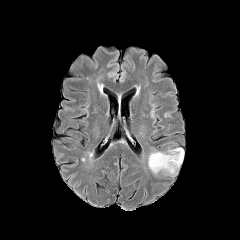
FLAIR MR image.
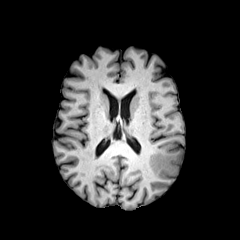
T1-weighted MR image.
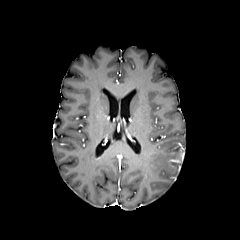
Post-contrast T1-weighted MR.
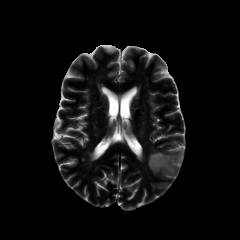
T2-weighted MRI of the same slice.
Head.
The enhancing tumor is bounded by left=169, top=150, right=184, bottom=163. The peritumoral edema lies within left=148, top=148, right=183, bottom=176.